Head | Slice 53 of 155
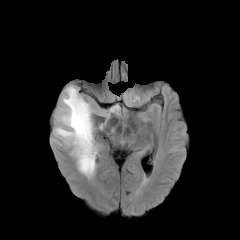
FLAIR MR image.
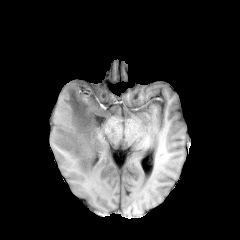
T1-weighted MR.
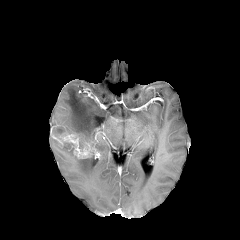
Post-contrast T1-weighted magnetic resonance.
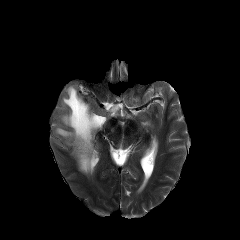
T2-weighted MR.
peritumoral edema at bbox(54, 85, 93, 141); bbox(53, 137, 95, 178)
enhancing tumor at bbox(54, 132, 92, 158)